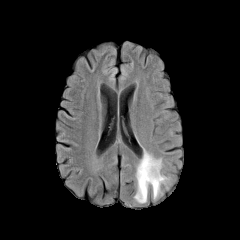
FLAIR MRI.
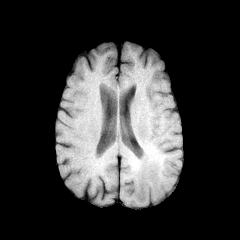
T1-weighted magnetic resonance.
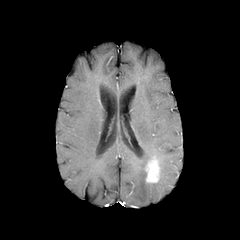
Post-contrast T1-weighted MRI of the same slice.
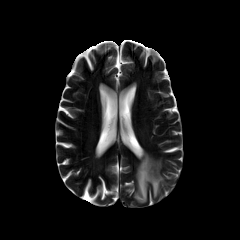
Same slice, T2-weighted MRI.
Head | Axial plane | 240x240 px
The peritumoral edema appears at box(134, 149, 169, 203). The enhancing tumor is bounded by box(145, 159, 159, 182).